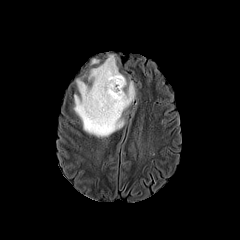
FLAIR MR.
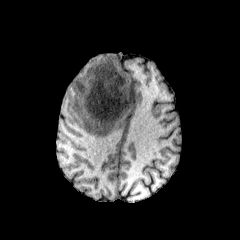
T1-weighted MR image.
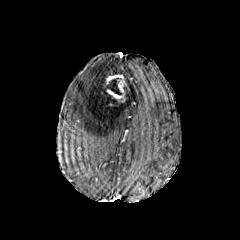
Post-contrast T1-weighted MR.
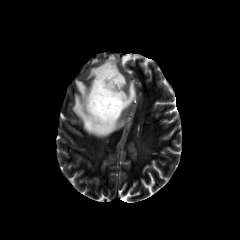
T2-weighted MRI.
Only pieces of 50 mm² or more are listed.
Segmented structures:
* enhancing tumor: (106, 74, 126, 101)
* necrotic tumor core: (101, 78, 124, 105)
* peritumoral edema: (73, 54, 136, 137)